FLAIR magnetic resonance.
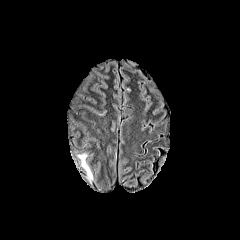
T1-weighted MRI.
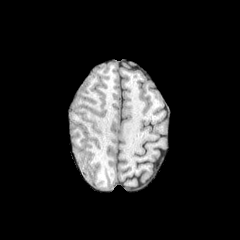
Post-contrast T1-weighted MR.
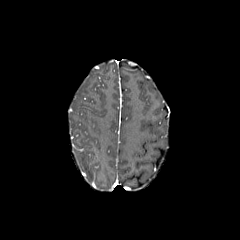
T2-weighted MRI.
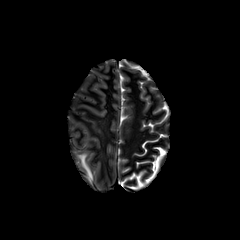
Head
The peritumoral edema appears at (x1=79, y1=154, x2=92, y2=178).